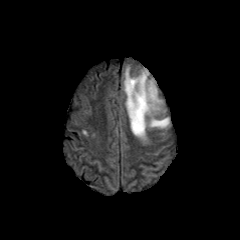
FLAIR magnetic resonance.
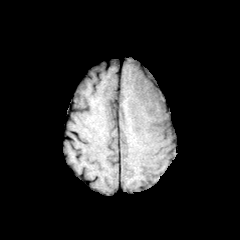
T1-weighted MR image.
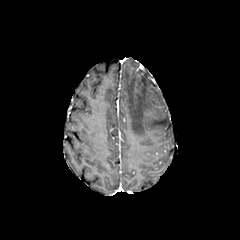
Post-contrast T1-weighted MR of the same slice.
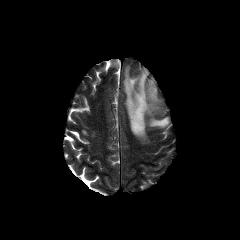
T2-weighted magnetic resonance of the same slice.
Axial view
The peritumoral edema is located at (124,67,169,139).